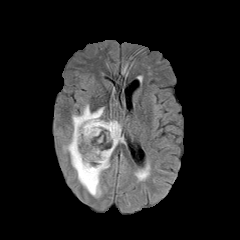
FLAIR MR image.
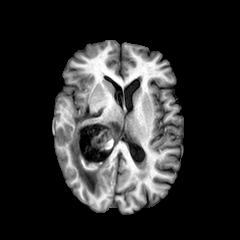
Same slice, T1-weighted MR.
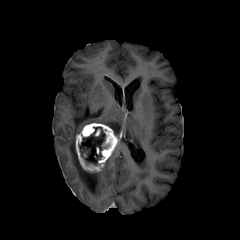
Same slice, post-contrast T1-weighted MR image.
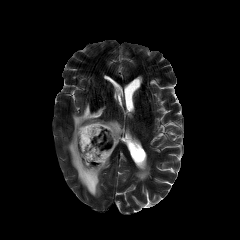
Same slice, T2-weighted magnetic resonance.
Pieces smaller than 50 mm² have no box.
* peritumoral edema: box=[63, 104, 121, 197]
* enhancing tumor: box=[75, 123, 120, 172]
* necrotic tumor core: box=[79, 127, 105, 165]